Axial plane | Slice index 95 | Image covers 240 mm x 240 mm | Brain
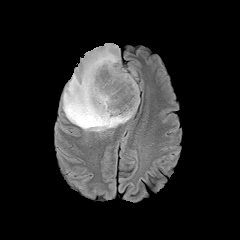
FLAIR magnetic resonance.
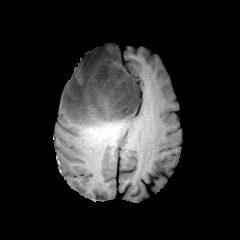
T1-weighted MR.
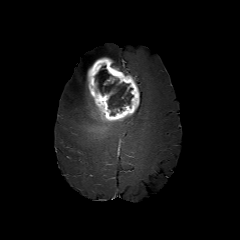
Post-contrast T1-weighted MR.
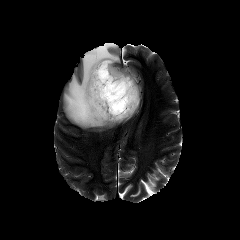
T2-weighted MR.
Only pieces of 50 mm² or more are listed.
Findings:
* peritumoral edema: 63,43,133,131
* enhancing tumor: 87,57,139,122
* necrotic tumor core: 95,66,133,110